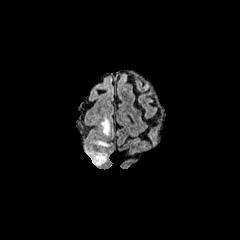
FLAIR magnetic resonance.
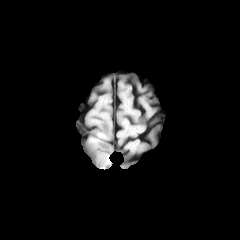
T1-weighted MR.
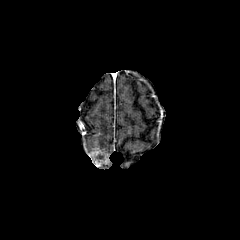
Post-contrast T1-weighted MR image.
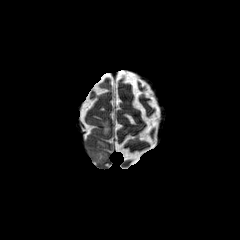
T2-weighted MR image.
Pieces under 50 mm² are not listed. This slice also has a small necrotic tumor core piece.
peritumoral edema: rect(101, 117, 110, 135); rect(93, 140, 108, 146) | enhancing tumor: rect(84, 145, 108, 166)